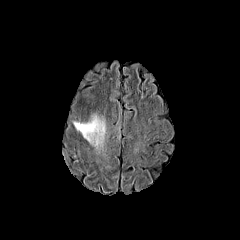
FLAIR magnetic resonance.
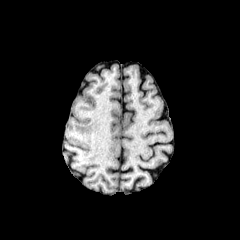
T1-weighted MR image of the same slice.
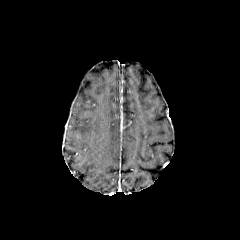
Post-contrast T1-weighted MRI.
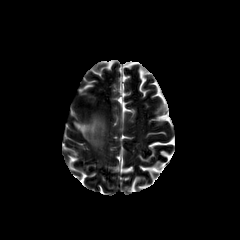
T2-weighted MR image of the same slice.
Axial slice, Head
- peritumoral edema: l=73, t=115, r=105, b=147